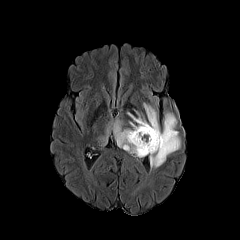
FLAIR magnetic resonance.
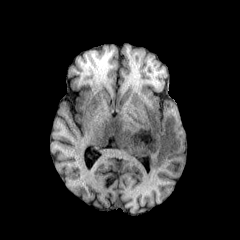
T1-weighted MRI.
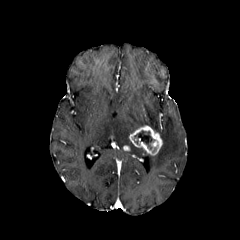
Post-contrast T1-weighted MR image.
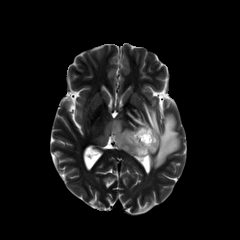
T2-weighted magnetic resonance.
Axial view. Brain.
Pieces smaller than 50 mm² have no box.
{"peritumoral_edema": ["<bbox>100, 103, 180, 168</bbox>"], "necrotic_tumor_core": ["<bbox>134, 131, 154, 149</bbox>"], "enhancing_tumor": ["<bbox>129, 125, 162, 155</bbox>"]}